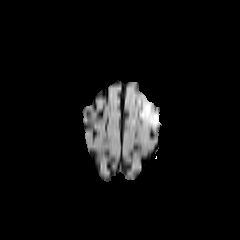
FLAIR MRI.
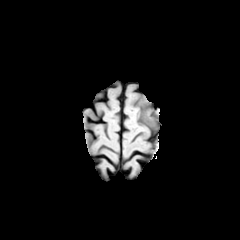
Same slice, T1-weighted MR.
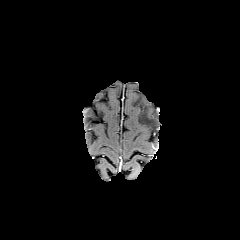
Post-contrast T1-weighted MR of the same slice.
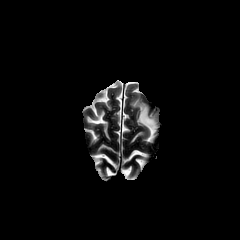
Same slice, T2-weighted MR.
Segmented structures:
• peritumoral edema: (140,102,158,129)